FLAIR MR.
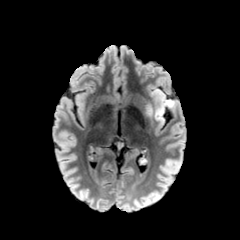
T1-weighted MRI.
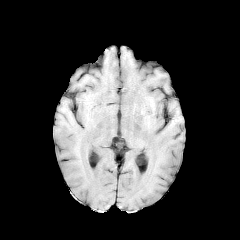
Post-contrast T1-weighted MRI.
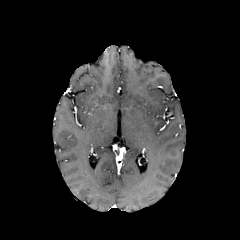
T2-weighted MRI.
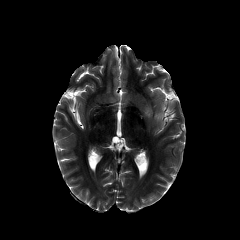
Brain; Axial plane
{"peritumoral_edema": ["154 93 175 125", "146 106 152 116"]}